240x240 px, Slice 115/155
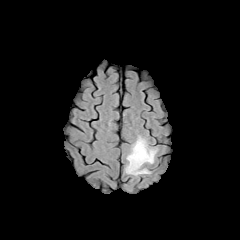
FLAIR MRI.
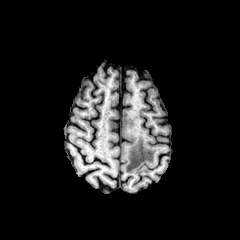
T1-weighted MR.
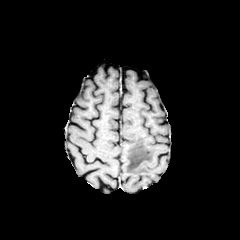
Post-contrast T1-weighted magnetic resonance.
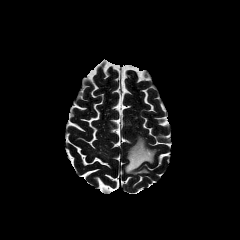
T2-weighted MR image.
peritumoral edema at <bbox>125, 135, 157, 175</bbox>